FLAIR MR.
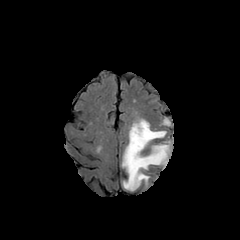
T1-weighted MR image.
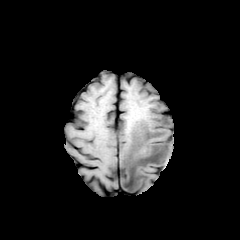
Post-contrast T1-weighted MR image.
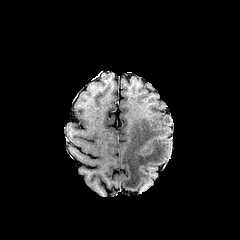
T2-weighted MR image.
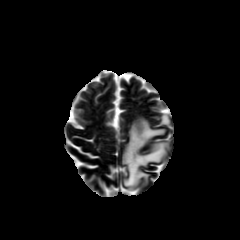
Brain
peritumoral edema = x1=161 y1=117 x2=170 y2=125, x1=122 y1=118 x2=170 y2=190